FLAIR MR.
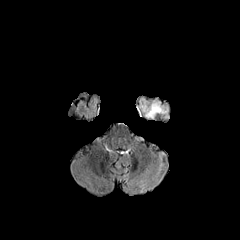
T1-weighted magnetic resonance.
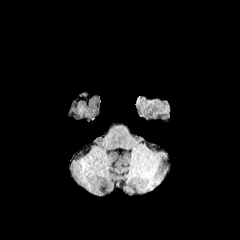
Post-contrast T1-weighted magnetic resonance.
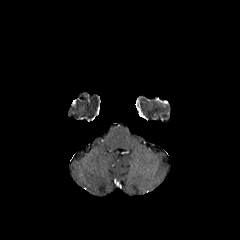
T2-weighted MRI.
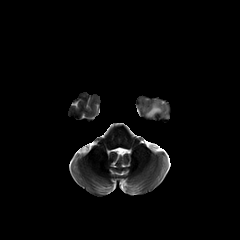
Brain | Axial view | Image size 240x240
The peritumoral edema lies within 142,101,167,117.